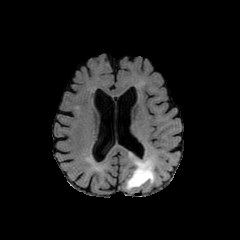
FLAIR MR image.
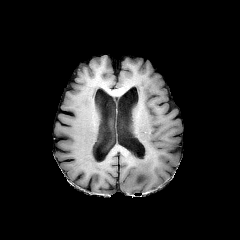
T1-weighted MRI.
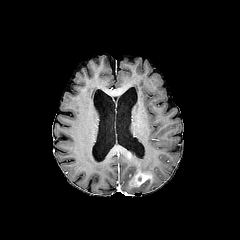
Post-contrast T1-weighted magnetic resonance.
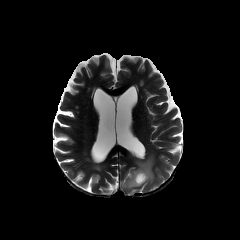
T2-weighted magnetic resonance.
Head. Axial view. 240x240 px.
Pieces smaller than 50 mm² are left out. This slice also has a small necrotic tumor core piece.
Findings:
• enhancing tumor: [x1=129, y1=169, x2=152, y2=186]
• peritumoral edema: [x1=124, y1=153, x2=156, y2=190]